Image covers 240 mm x 240 mm | Head
FLAIR MR.
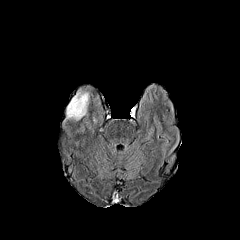
T1-weighted MR.
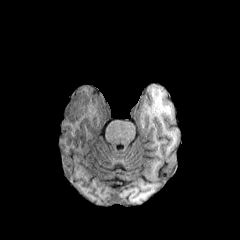
Post-contrast T1-weighted MR image.
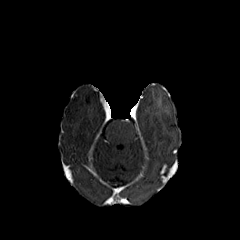
T2-weighted MR.
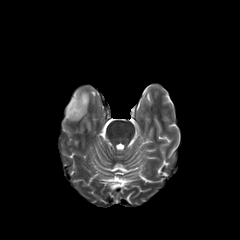
{
  "peritumoral_edema": [
    "(65, 90, 89, 120)"
  ]
}